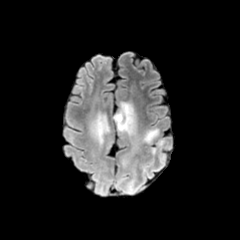
FLAIR magnetic resonance.
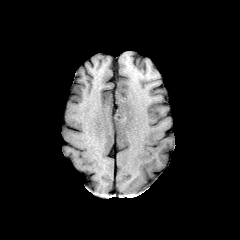
T1-weighted magnetic resonance.
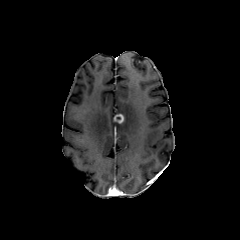
Post-contrast T1-weighted MR.
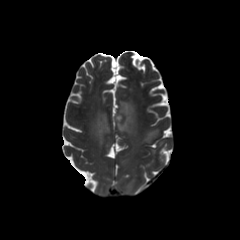
T2-weighted MR.
Head | Axial slice
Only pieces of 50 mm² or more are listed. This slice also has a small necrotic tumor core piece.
{
  "peritumoral_edema": [
    "91:113:109:144",
    "117:101:136:136",
    "144:129:158:143"
  ],
  "enhancing_tumor": [
    "114:114:123:123"
  ]
}